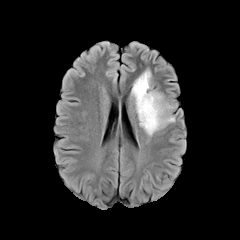
FLAIR MR.
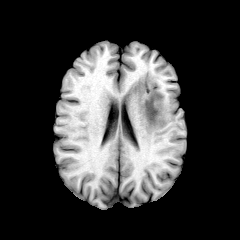
Same slice, T1-weighted MRI.
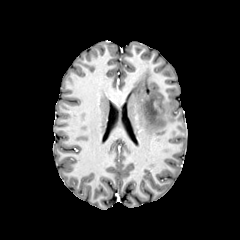
Same slice, post-contrast T1-weighted MR image.
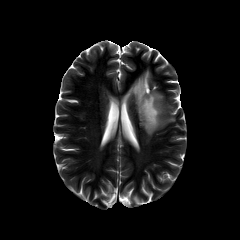
Same slice, T2-weighted magnetic resonance.
Axial slice; Brain
peritumoral edema at region(131, 70, 174, 136)